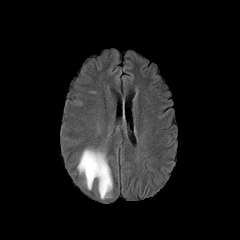
FLAIR MR.
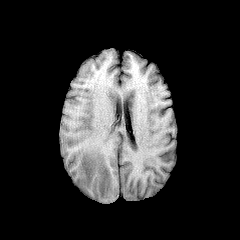
Same slice, T1-weighted MR.
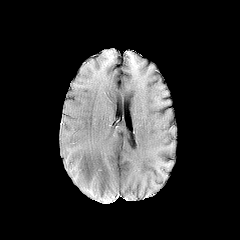
Same slice, post-contrast T1-weighted MRI.
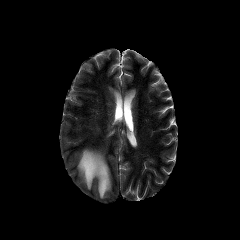
T2-weighted MR.
Head, 240x240
The peritumoral edema is at region(77, 148, 112, 198).